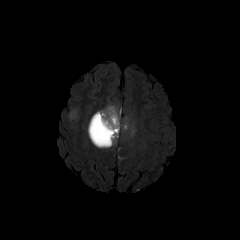
FLAIR MRI.
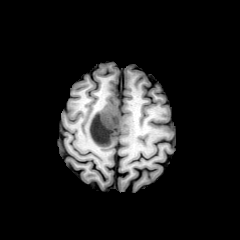
Same slice, T1-weighted MR image.
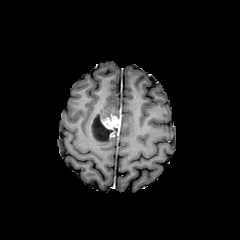
Same slice, post-contrast T1-weighted MRI.
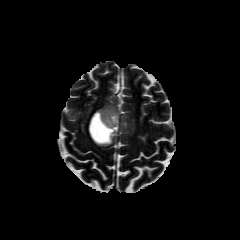
T2-weighted magnetic resonance.
Axial view | 240x240
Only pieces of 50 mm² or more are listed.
peritumoral edema: box(88, 122, 118, 147); box(69, 108, 78, 118); box(96, 105, 120, 118) | necrotic tumor core: box(91, 113, 112, 143) | enhancing tumor: box(101, 113, 120, 139); box(89, 114, 110, 145)